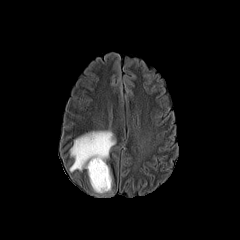
FLAIR MRI.
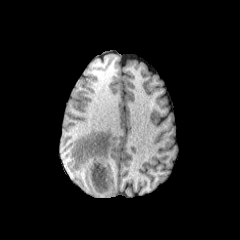
T1-weighted magnetic resonance.
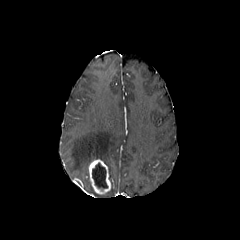
Same slice, post-contrast T1-weighted magnetic resonance.
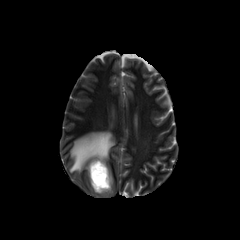
T2-weighted MRI.
Axial plane | Image size 240x240 | Brain
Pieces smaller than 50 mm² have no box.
necrotic tumor core: bounding box (92,163,107,188)
peritumoral edema: bounding box (70,131,115,171)
enhancing tumor: bounding box (88,159,111,194)